Axial plane, Slice 80 of 155
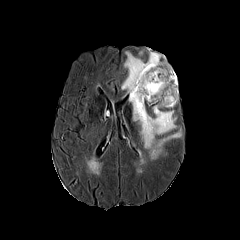
FLAIR MR.
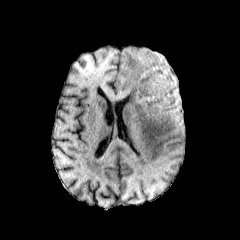
T1-weighted MR image of the same slice.
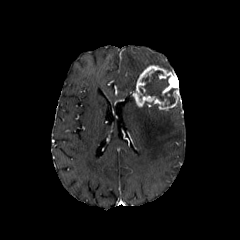
Post-contrast T1-weighted MR.
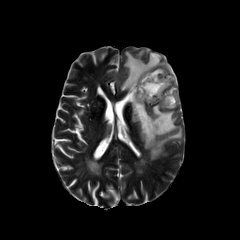
T2-weighted MR.
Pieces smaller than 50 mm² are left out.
The largest peritumoral edema region lies within 121, 51, 182, 159. The largest necrotic tumor core region is at 140, 70, 175, 105. The largest enhancing tumor region appears at 132, 65, 179, 110.